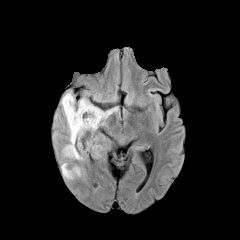
FLAIR MR.
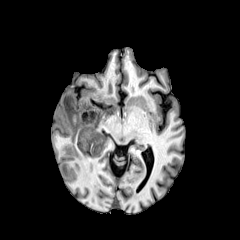
T1-weighted MR.
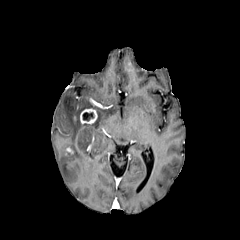
Post-contrast T1-weighted magnetic resonance of the same slice.
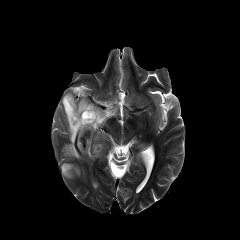
T2-weighted magnetic resonance.
240x240; Axial view
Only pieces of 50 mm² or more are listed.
Findings:
* necrotic tumor core: [83,112,93,120]
* peritumoral edema: [61,91,117,160], [60,161,80,179]
* enhancing tumor: [80,108,97,124]